FLAIR MRI.
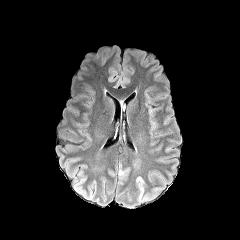
T1-weighted MRI.
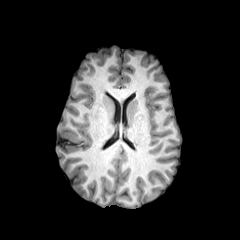
Post-contrast T1-weighted magnetic resonance.
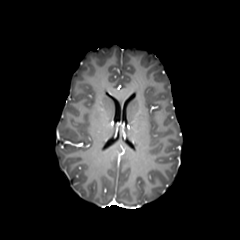
T2-weighted MR image.
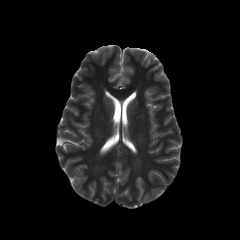
* peritumoral edema: 119 164 129 174, 136 177 146 200